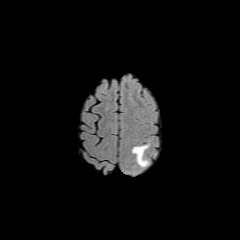
FLAIR MR image.
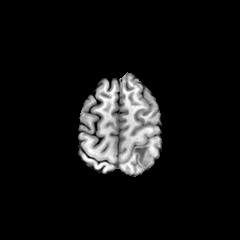
T1-weighted MR of the same slice.
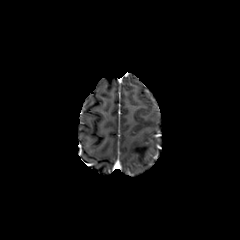
Post-contrast T1-weighted MR.
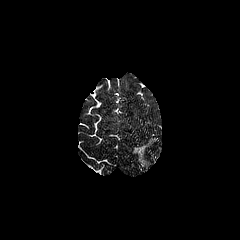
T2-weighted MR.
Segmented structures:
- peritumoral edema: bbox=[132, 145, 148, 166]